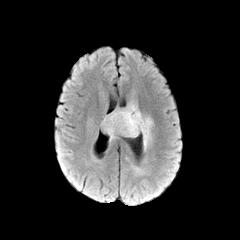
FLAIR MRI.
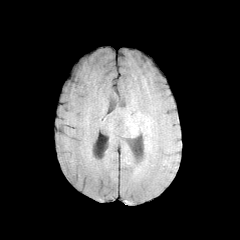
Same slice, T1-weighted magnetic resonance.
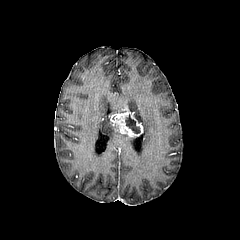
Post-contrast T1-weighted MR of the same slice.
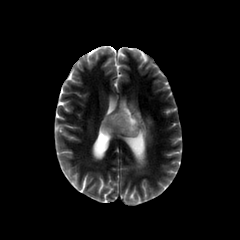
T2-weighted MRI.
Axial slice; Brain; Image size 240x240
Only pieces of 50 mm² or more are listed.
The 2 largest peritumoral edema regions appear at 126,103,151,148; 101,116,119,139. The enhancing tumor lies within 109,107,143,138. The necrotic tumor core lies within 125,114,140,133.